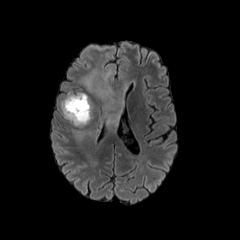
FLAIR magnetic resonance.
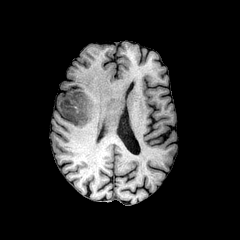
T1-weighted magnetic resonance.
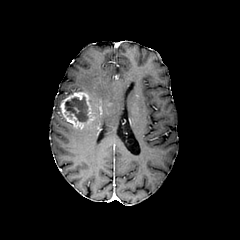
Post-contrast T1-weighted MR image of the same slice.
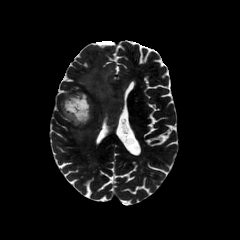
T2-weighted MR image.
Image size 240x240. Brain.
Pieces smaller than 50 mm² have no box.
peritumoral edema at <bbox>73, 130, 87, 140</bbox>, <bbox>80, 53, 126, 128</bbox>
necrotic tumor core at <bbox>65, 97, 88, 121</bbox>
enhancing tumor at <bbox>60, 92, 94, 128</bbox>